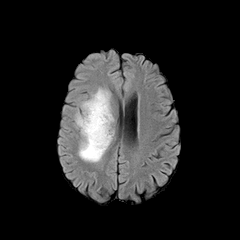
FLAIR MRI.
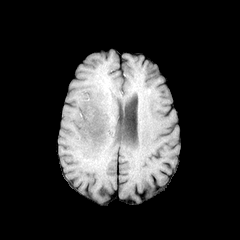
T1-weighted MR image of the same slice.
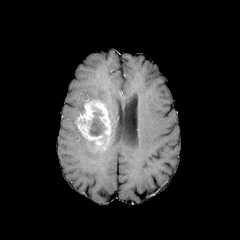
Post-contrast T1-weighted MR image.
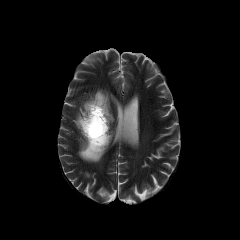
T2-weighted MR of the same slice.
Axial view
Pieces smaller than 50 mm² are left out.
necrotic tumor core = 89:112:104:135
enhancing tumor = 76:100:110:151
peritumoral edema = 81:88:113:124, 78:127:113:162